FLAIR magnetic resonance.
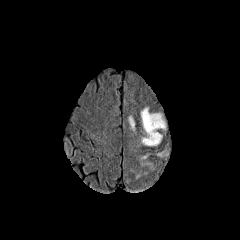
T1-weighted MR.
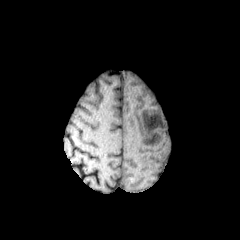
Post-contrast T1-weighted MR.
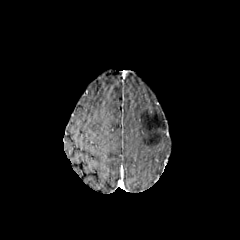
T2-weighted MRI.
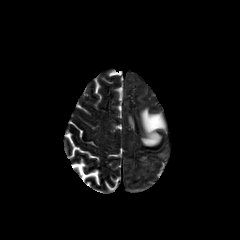
Image size 240x240 | Axial slice
peritumoral_edema:
  - (x1=129, y1=117, x2=134, y2=129)
  - (x1=131, y1=169, x2=147, y2=178)
  - (x1=157, y1=150, x2=169, y2=156)
  - (x1=139, y1=154, x2=155, y2=168)
  - (x1=141, y1=108, x2=166, y2=146)